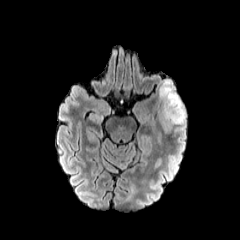
FLAIR MRI.
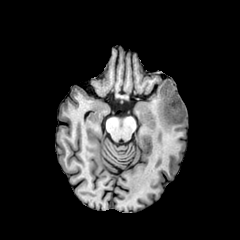
T1-weighted magnetic resonance of the same slice.
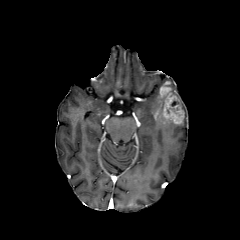
Post-contrast T1-weighted MR of the same slice.
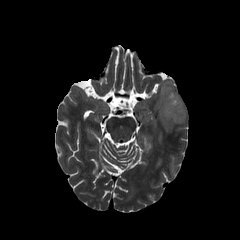
T2-weighted MRI of the same slice.
Axial slice.
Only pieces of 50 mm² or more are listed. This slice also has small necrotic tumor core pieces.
peritumoral_edema:
  - left=156, top=94, right=173, bottom=131
  - left=181, top=102, right=186, bottom=126
enhancing_tumor:
  - left=159, top=81, right=184, bottom=124